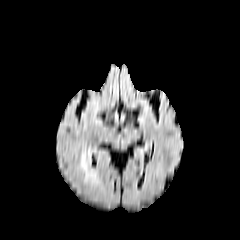
FLAIR MRI.
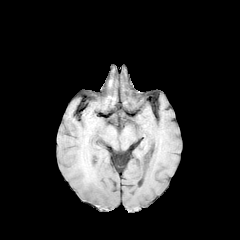
Same slice, T1-weighted MRI.
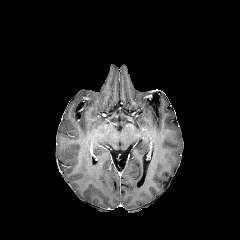
Post-contrast T1-weighted MRI.
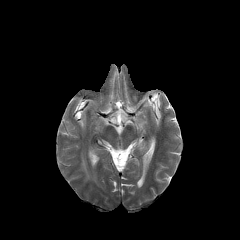
T2-weighted MR image of the same slice.
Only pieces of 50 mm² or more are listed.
The largest peritumoral edema region is bounded by (left=81, top=155, right=95, bottom=179).